FLAIR MR.
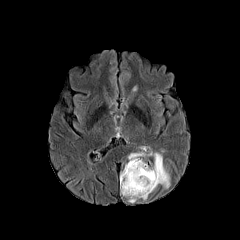
T1-weighted MR.
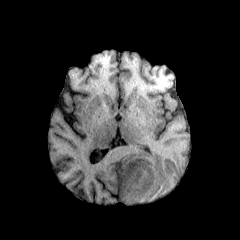
Post-contrast T1-weighted MRI.
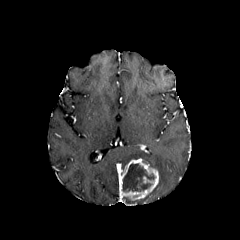
T2-weighted magnetic resonance.
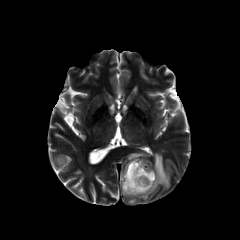
240x240
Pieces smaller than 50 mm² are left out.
<segmentation>
  <peritumoral_edema>region(127, 151, 170, 188)</peritumoral_edema>
  <necrotic_tumor_core>region(123, 164, 154, 191)</necrotic_tumor_core>
  <enhancing_tumor>region(119, 158, 158, 200)</enhancing_tumor>
</segmentation>